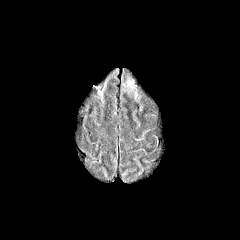
FLAIR MRI.
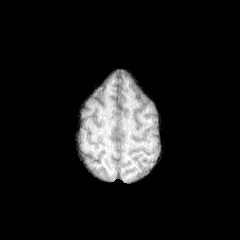
T1-weighted MRI.
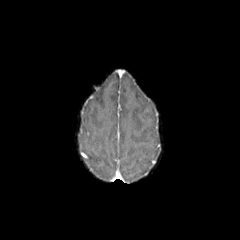
Post-contrast T1-weighted MR image.
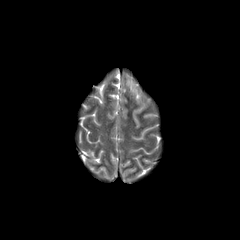
T2-weighted MR image.
Head. Axial view.
<segmentation>
  <peritumoral_edema>x1=127, y1=77, x2=138, y2=98</peritumoral_edema>
</segmentation>